Head. Slice index 89.
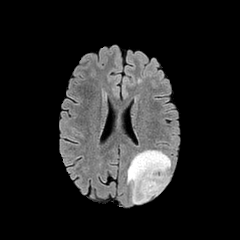
FLAIR MR.
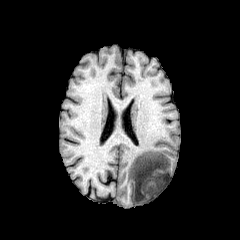
T1-weighted magnetic resonance of the same slice.
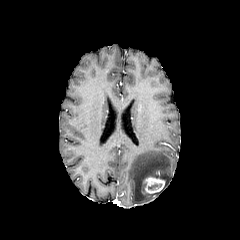
Post-contrast T1-weighted MRI.
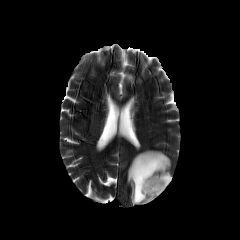
T2-weighted MR image.
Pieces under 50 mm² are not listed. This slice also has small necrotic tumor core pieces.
The peritumoral edema lies within (127,150,170,203). The enhancing tumor is located at (141,177,165,195).